FLAIR MRI.
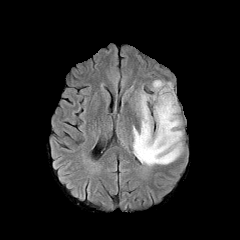
T1-weighted magnetic resonance.
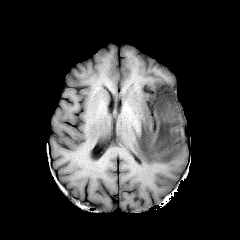
Post-contrast T1-weighted MR.
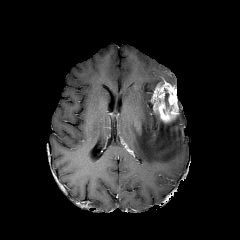
T2-weighted MR image.
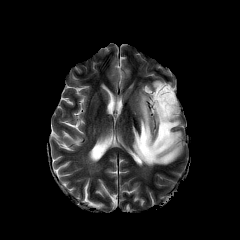
Image size 240x240 | Head | Axial slice
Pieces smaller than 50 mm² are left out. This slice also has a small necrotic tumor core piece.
enhancing tumor at x1=150 y1=80 x2=178 y2=123
peritumoral edema at x1=132 y1=92 x2=182 y2=166